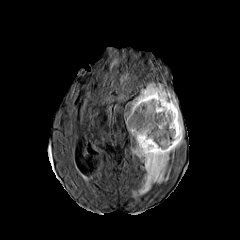
FLAIR MR image.
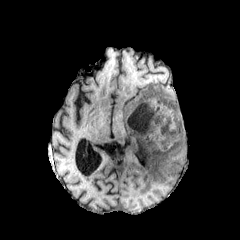
T1-weighted MR of the same slice.
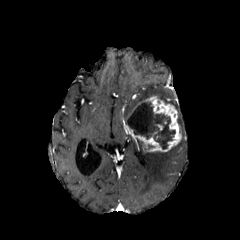
Post-contrast T1-weighted MR.
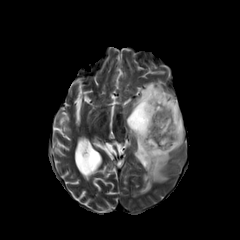
T2-weighted MR.
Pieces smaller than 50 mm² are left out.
{
  "peritumoral_edema": [
    "left=124, top=82, right=183, bottom=194"
  ],
  "necrotic_tumor_core": [
    "left=126, top=102, right=175, bottom=149"
  ],
  "enhancing_tumor": [
    "left=125, top=95, right=181, bottom=152"
  ]
}